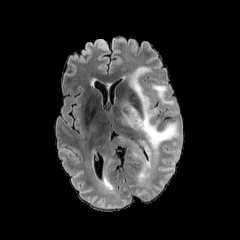
FLAIR magnetic resonance.
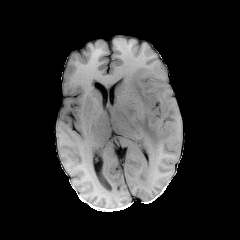
T1-weighted magnetic resonance of the same slice.
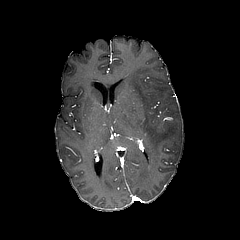
Same slice, post-contrast T1-weighted magnetic resonance.
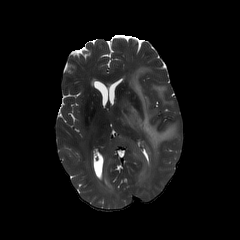
T2-weighted magnetic resonance.
Axial slice | Head
Annotated regions:
* peritumoral edema: {"x1": 151, "y1": 84, "x2": 173, "y2": 104}, {"x1": 119, "y1": 66, "x2": 178, "y2": 158}, {"x1": 141, "y1": 162, "x2": 149, "y2": 174}, {"x1": 119, "y1": 139, "x2": 143, "y2": 161}